FLAIR MR image.
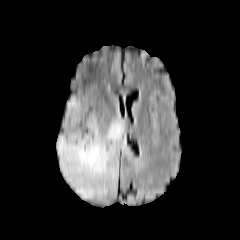
T1-weighted MRI.
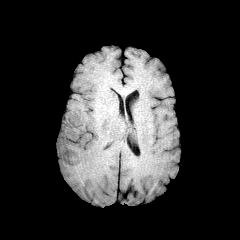
Post-contrast T1-weighted MR.
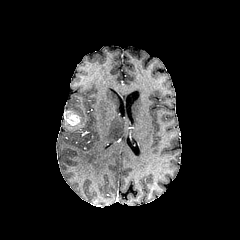
T2-weighted MRI.
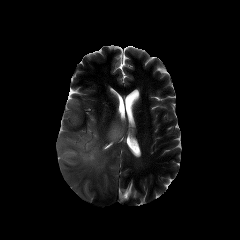
Axial slice; Brain
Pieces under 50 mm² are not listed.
The enhancing tumor appears at x1=64 y1=111 x2=80 y2=128. The 2 largest peritumoral edema regions appear at x1=56 y1=114 x2=128 y2=199, x1=63 y1=97 x2=81 y2=116.